Head.
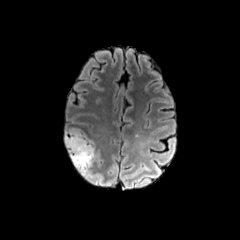
FLAIR MRI.
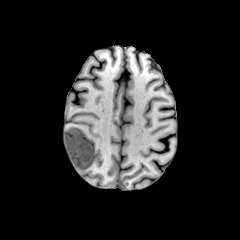
T1-weighted magnetic resonance.
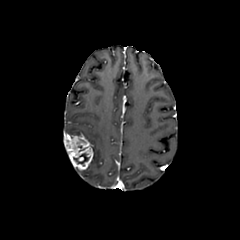
Post-contrast T1-weighted MR image.
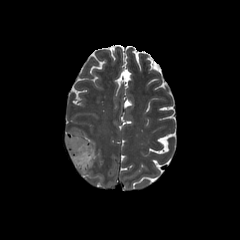
Same slice, T2-weighted magnetic resonance.
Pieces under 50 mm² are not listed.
Segmented structures:
- enhancing tumor: [64, 133, 93, 170]
- peritumoral edema: [65, 128, 97, 175]
- necrotic tumor core: [73, 153, 88, 165]